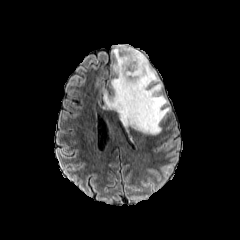
FLAIR MRI.
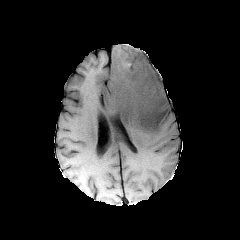
T1-weighted MR.
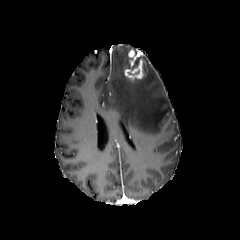
Post-contrast T1-weighted MR.
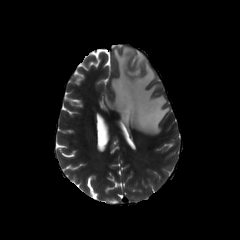
T2-weighted MRI.
Axial plane; 240x240
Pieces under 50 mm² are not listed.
peritumoral edema — bbox=[104, 44, 170, 134]
enhancing tumor — bbox=[124, 49, 146, 81]
necrotic tumor core — bbox=[132, 55, 143, 69]